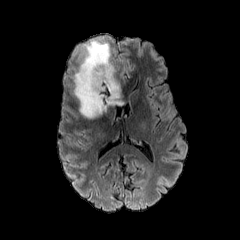
FLAIR MR.
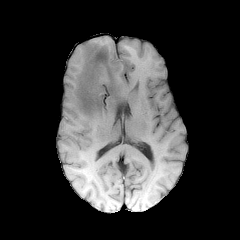
T1-weighted MR image.
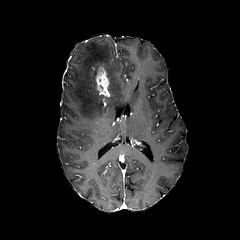
Post-contrast T1-weighted MR of the same slice.
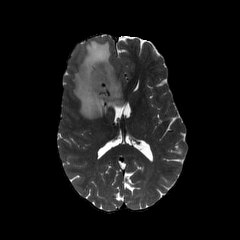
T2-weighted MRI of the same slice.
Image size 240x240
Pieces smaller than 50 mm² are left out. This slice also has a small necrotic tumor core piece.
enhancing_tumor:
  - l=95, t=66, r=109, b=95
peritumoral_edema:
  - l=74, t=39, r=122, b=118